Axial view. Slice 99/155. 240x240.
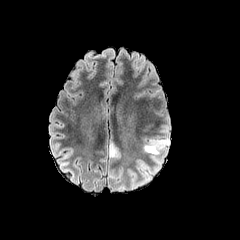
FLAIR magnetic resonance.
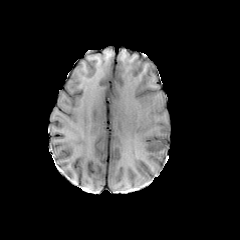
T1-weighted magnetic resonance.
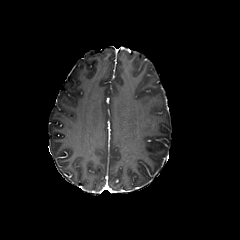
Post-contrast T1-weighted magnetic resonance of the same slice.
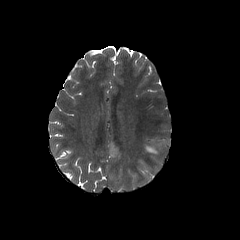
T2-weighted MR.
2 peritumoral edema regions are located at [152,157,160,171], [144,137,169,155].